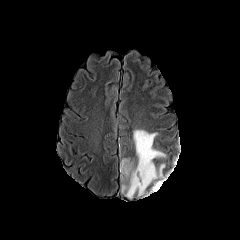
FLAIR MRI.
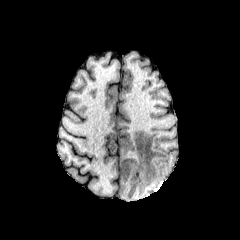
Same slice, T1-weighted MR.
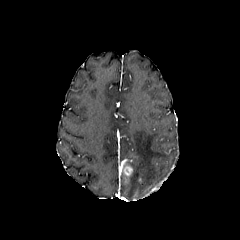
Post-contrast T1-weighted magnetic resonance.
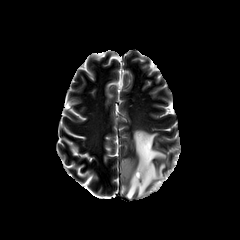
Same slice, T2-weighted MR image.
Brain
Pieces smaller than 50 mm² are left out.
enhancing tumor — box(120, 159, 132, 177)
peritumoral edema — box(126, 129, 165, 198)